240x240 px; Brain
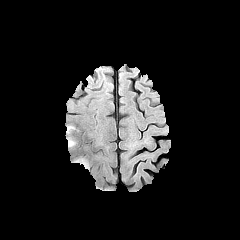
FLAIR MR image.
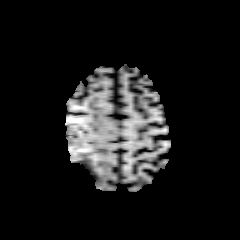
T1-weighted MR image.
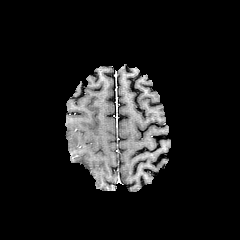
Post-contrast T1-weighted MR.
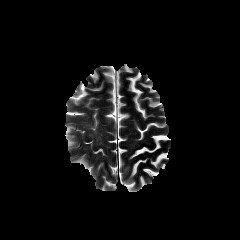
T2-weighted MR image.
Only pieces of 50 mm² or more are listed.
<segmentation>
  <peritumoral_edema>(left=76, top=159, right=88, bottom=168), (left=68, top=138, right=75, bottom=146)</peritumoral_edema>
</segmentation>